FLAIR MR.
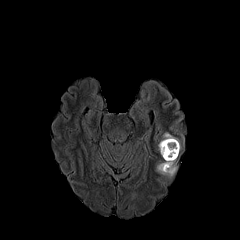
T1-weighted MR.
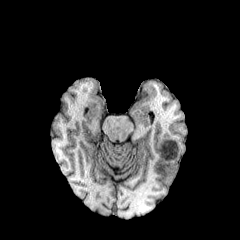
Post-contrast T1-weighted MR image.
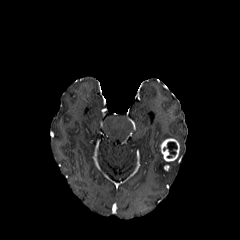
T2-weighted MR image.
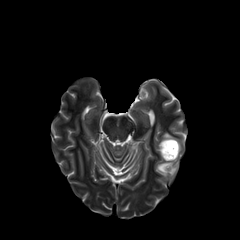
Axial view | Brain | Image size 240x240
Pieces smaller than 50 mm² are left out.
2 peritumoral edema regions appear at <bbox>156, 159, 177, 178</bbox>, <bbox>158, 132, 183, 150</bbox>. The necrotic tumor core is at <bbox>163, 142, 177, 158</bbox>. The largest enhancing tumor region lies within <bbox>160, 138, 179, 161</bbox>.